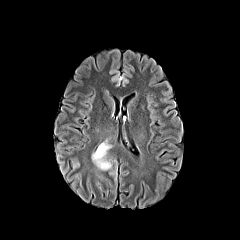
FLAIR magnetic resonance.
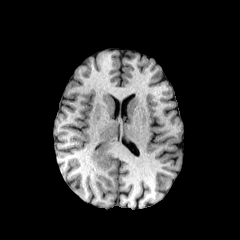
Same slice, T1-weighted MRI.
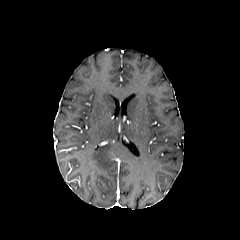
Post-contrast T1-weighted MRI.
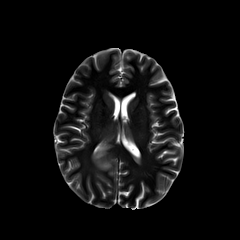
T2-weighted MRI.
Axial plane
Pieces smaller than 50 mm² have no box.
The largest peritumoral edema region is bounded by x1=92, y1=144, x2=115, y2=170.